FLAIR MR image.
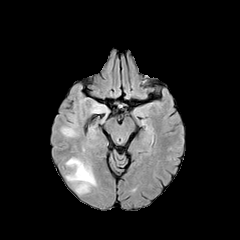
T1-weighted MR image.
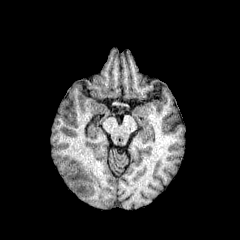
Post-contrast T1-weighted MRI.
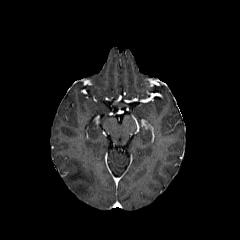
T2-weighted MRI.
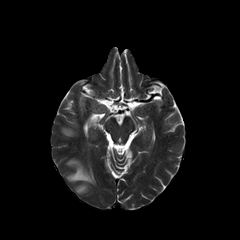
Axial view; Image size 240x240; Head
Segmented structures:
* peritumoral edema: [x1=66, y1=158, x2=95, y2=193], [x1=61, y1=121, x2=78, y2=137]